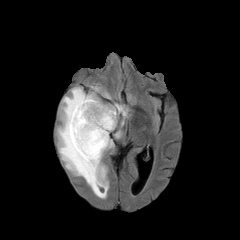
FLAIR MR.
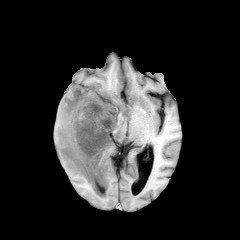
T1-weighted magnetic resonance.
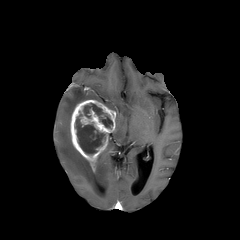
Post-contrast T1-weighted magnetic resonance of the same slice.
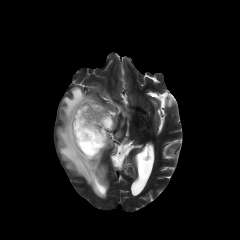
Same slice, T2-weighted magnetic resonance.
Axial plane. Brain.
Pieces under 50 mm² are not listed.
peritumoral edema: {"x1": 105, "y1": 103, "x2": 127, "y2": 118}, {"x1": 57, "y1": 87, "x2": 108, "y2": 198}, {"x1": 106, "y1": 137, "x2": 113, "y2": 149} | necrotic tumor core: {"x1": 75, "y1": 114, "x2": 104, "y2": 154}, {"x1": 83, "y1": 103, "x2": 112, "y2": 127} | enhancing tumor: {"x1": 70, "y1": 100, "x2": 116, "y2": 171}